Image size 240x240, Slice 84/155, Head, Image covers 240 mm x 240 mm
FLAIR MR image.
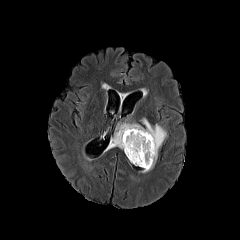
T1-weighted MRI.
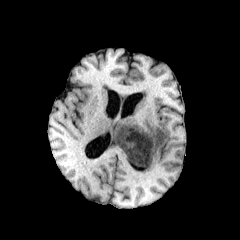
Post-contrast T1-weighted MR.
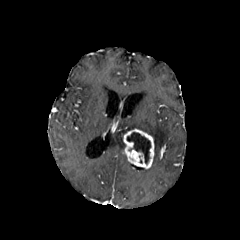
T2-weighted MRI.
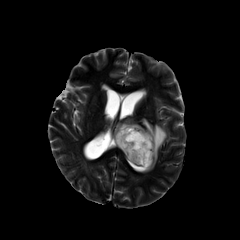
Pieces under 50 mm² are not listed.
<segmentation>
  <enhancing_tumor>x1=123, y1=128, x2=154, y2=169</enhancing_tumor>
  <peritumoral_edema>x1=108, y1=118, x2=166, y2=172</peritumoral_edema>
  <necrotic_tumor_core>x1=127, y1=132, x2=150, y2=163</necrotic_tumor_core>
</segmentation>